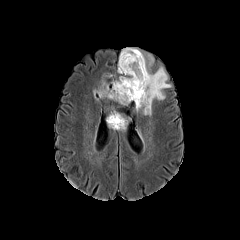
FLAIR MR image.
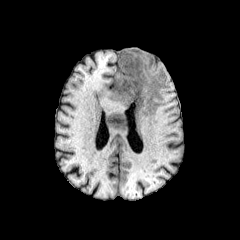
T1-weighted MR image.
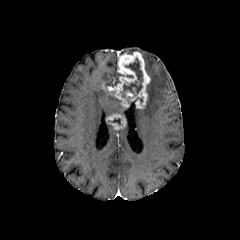
Post-contrast T1-weighted MR.
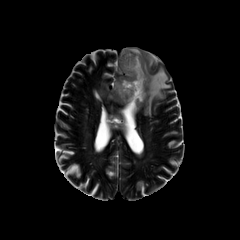
T2-weighted magnetic resonance.
Axial view
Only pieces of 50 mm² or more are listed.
The largest necrotic tumor core region is located at l=122, t=58, r=142, b=97. The 2 largest peritumoral edema regions are bounded by l=120, t=48, r=171, b=116; l=93, t=85, r=120, b=103. 2 enhancing tumor regions are bounded by l=102, t=51, r=150, b=108; l=106, t=113, r=126, b=129.